Brain, Slice 86 of 155
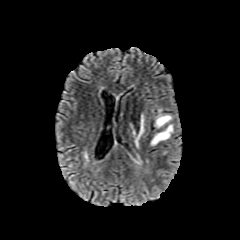
FLAIR MR.
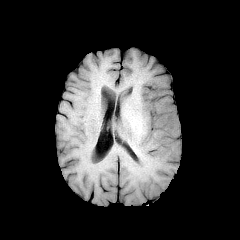
Same slice, T1-weighted MR.
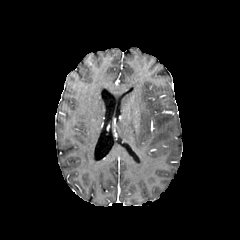
Post-contrast T1-weighted magnetic resonance.
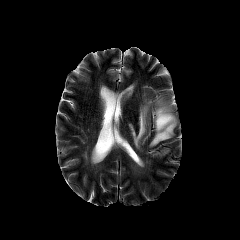
T2-weighted MR image of the same slice.
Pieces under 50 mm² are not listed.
peritumoral edema = 155:108:172:128, 130:113:144:148, 150:124:173:145